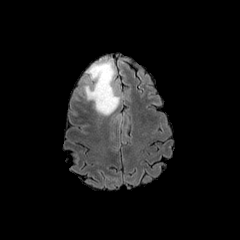
FLAIR magnetic resonance.
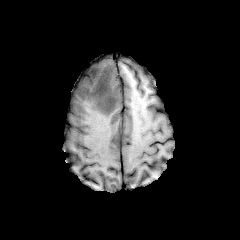
T1-weighted MR image.
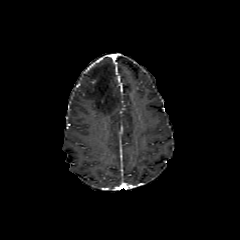
Post-contrast T1-weighted MRI.
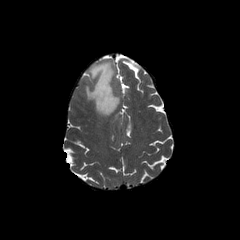
T2-weighted MR image.
Brain; 240x240 px
The peritumoral edema is at box(82, 57, 119, 115).